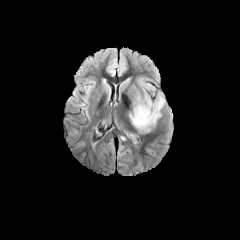
FLAIR MR image.
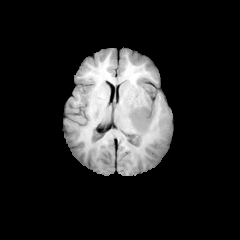
T1-weighted MRI.
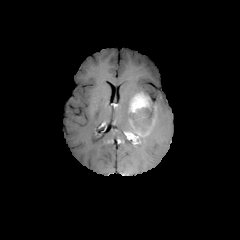
Post-contrast T1-weighted MRI.
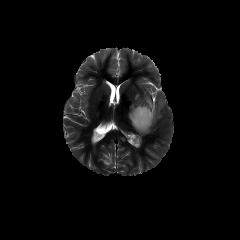
T2-weighted magnetic resonance.
Axial slice. Image size 240x240.
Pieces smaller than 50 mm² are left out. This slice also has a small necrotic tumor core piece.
enhancing tumor: bbox=[130, 94, 156, 132]
peritumoral edema: bbox=[141, 97, 164, 132]